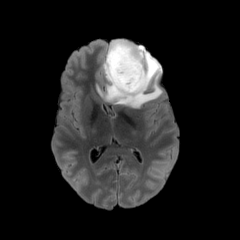
FLAIR MR.
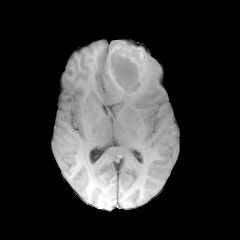
T1-weighted MRI.
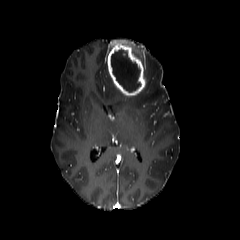
Same slice, post-contrast T1-weighted MRI.
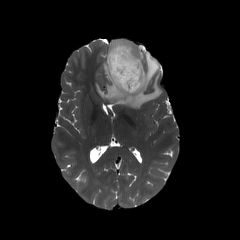
T2-weighted MR of the same slice.
Brain
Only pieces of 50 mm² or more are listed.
enhancing tumor = bbox=[106, 40, 146, 96]
necrotic tumor core = bbox=[111, 49, 140, 91]
peritumoral edema = bbox=[97, 45, 162, 108]